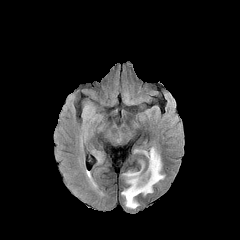
FLAIR magnetic resonance.
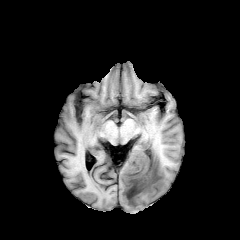
T1-weighted MRI.
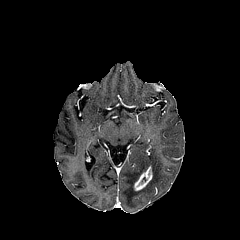
Post-contrast T1-weighted MR.
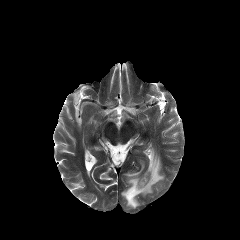
T2-weighted MRI.
Axial view
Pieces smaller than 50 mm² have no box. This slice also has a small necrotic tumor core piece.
<segmentation>
  <enhancing_tumor>133, 165, 152, 190</enhancing_tumor>
  <peritumoral_edema>121, 147, 164, 208</peritumoral_edema>
</segmentation>